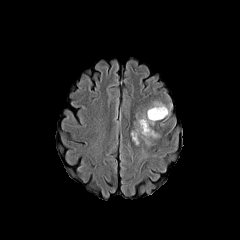
FLAIR magnetic resonance.
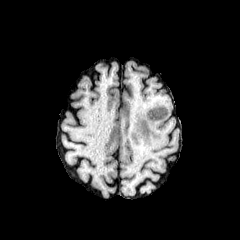
Same slice, T1-weighted MR image.
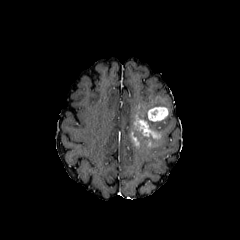
Post-contrast T1-weighted magnetic resonance of the same slice.
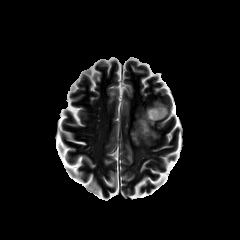
T2-weighted MR image.
240x240
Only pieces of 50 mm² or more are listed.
The 3 largest enhancing tumor regions are bounded by (x1=131, y1=132, x2=139, y2=145), (x1=147, y1=107, x2=168, y2=121), (x1=134, y1=116, x2=160, y2=138). The 4 largest peritumoral edema regions are bounded by (x1=139, y1=147, x2=148, y2=162), (x1=132, y1=129, x2=149, y2=143), (x1=160, y1=105, x2=171, y2=126), (x1=135, y1=100, x2=166, y2=126).